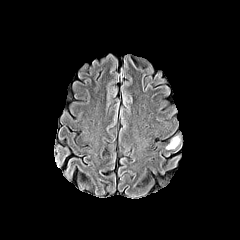
FLAIR magnetic resonance.
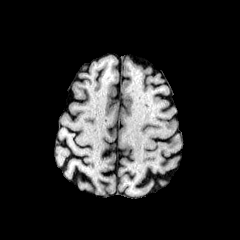
T1-weighted MR image.
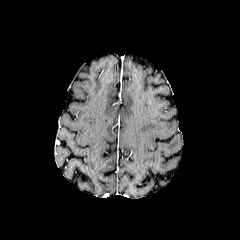
Same slice, post-contrast T1-weighted MR image.
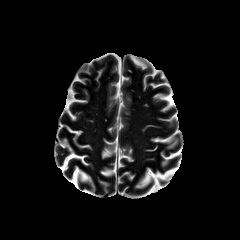
T2-weighted MR.
Axial plane
peritumoral edema: (x1=166, y1=137, x2=179, y2=149)